Slice 118 of 155, Image covers 240 mm x 240 mm
FLAIR MR.
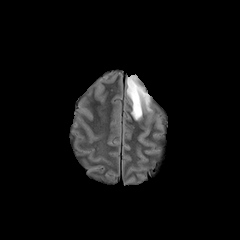
T1-weighted MR image.
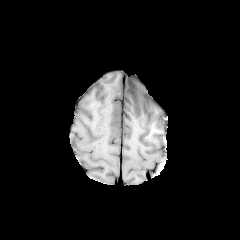
Post-contrast T1-weighted magnetic resonance.
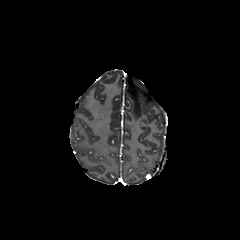
T2-weighted MRI.
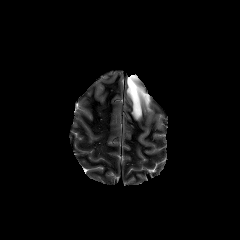
peritumoral edema = rect(127, 75, 151, 119)